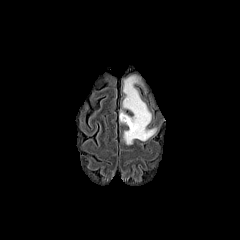
FLAIR MR image.
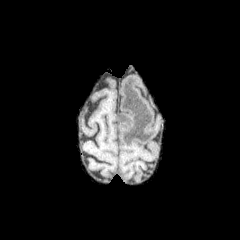
T1-weighted MR of the same slice.
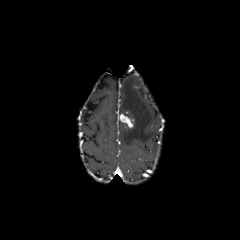
Post-contrast T1-weighted magnetic resonance.
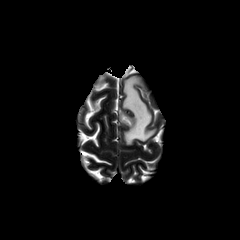
T2-weighted MRI.
Head | Axial view
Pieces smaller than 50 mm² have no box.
The enhancing tumor is located at rect(119, 114, 134, 127). The largest peritumoral edema region appears at rect(120, 73, 157, 144).